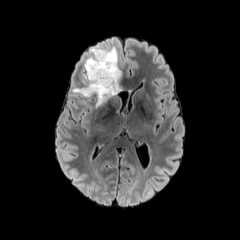
FLAIR MRI.
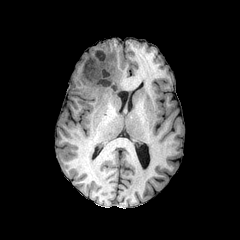
T1-weighted MRI.
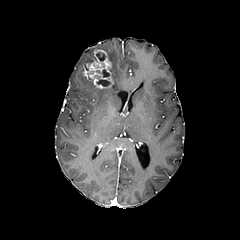
Post-contrast T1-weighted MR.
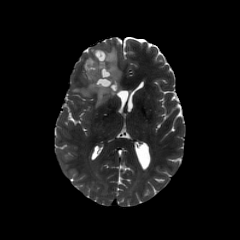
T2-weighted MR image.
Head.
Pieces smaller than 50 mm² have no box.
peritumoral edema = l=83, t=56, r=95, b=71; l=74, t=47, r=121, b=106
enhancing tumor = l=83, t=50, r=113, b=88
necrotic tumor core = l=96, t=52, r=104, b=61; l=96, t=79, r=110, b=86; l=96, t=69, r=109, b=77